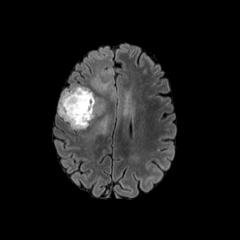
FLAIR MR image.
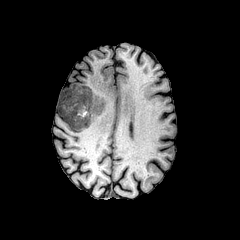
Same slice, T1-weighted MR.
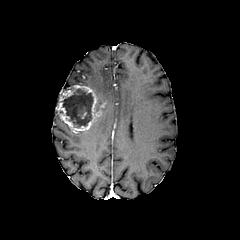
Post-contrast T1-weighted MR of the same slice.
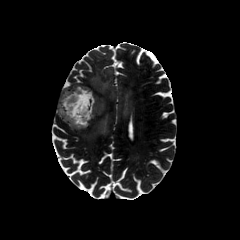
T2-weighted MR image.
Axial view. Head.
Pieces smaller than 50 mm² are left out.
The largest necrotic tumor core region lies within box=[62, 89, 93, 126]. The largest enhancing tumor region appears at box=[57, 85, 105, 131]. The 2 largest peritumoral edema regions appear at box=[96, 115, 109, 134]; box=[90, 55, 133, 117].